FLAIR MR.
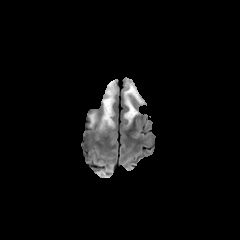
T1-weighted MR image.
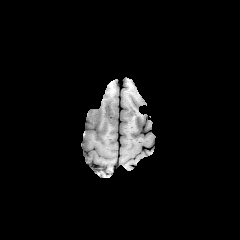
Post-contrast T1-weighted magnetic resonance.
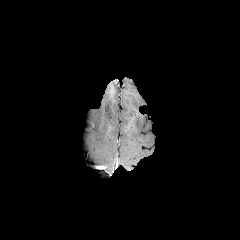
T2-weighted MRI.
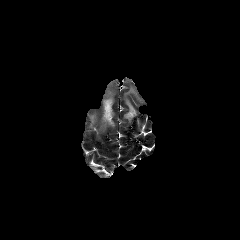
3 peritumoral edema regions are located at [87,112,95,126], [122,85,143,129], [100,90,115,130].